FLAIR MR.
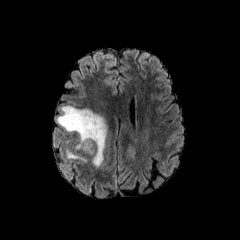
T1-weighted MRI.
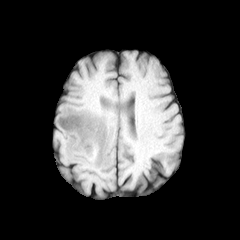
Post-contrast T1-weighted magnetic resonance.
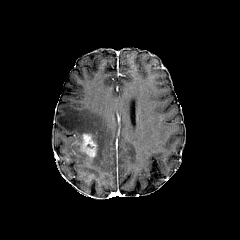
T2-weighted MR image.
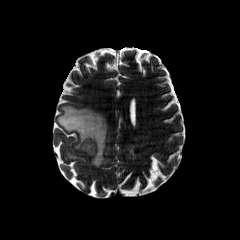
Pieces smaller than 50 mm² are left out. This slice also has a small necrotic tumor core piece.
<segmentation>
  <peritumoral_edema>left=66, top=148, right=87, bottom=161; left=57, top=105, right=107, bottom=167</peritumoral_edema>
  <enhancing_tumor>left=79, top=133, right=96, bottom=157</enhancing_tumor>
</segmentation>